Axial slice; Brain; 240x240 px
FLAIR magnetic resonance.
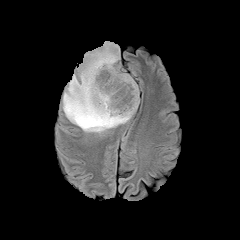
T1-weighted MRI.
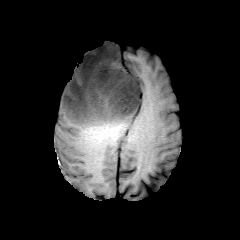
Post-contrast T1-weighted MR image.
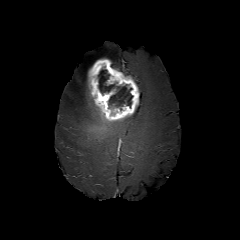
T2-weighted MR.
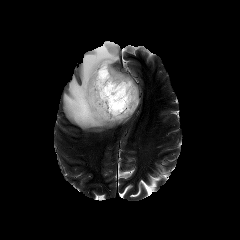
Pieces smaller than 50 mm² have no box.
enhancing tumor — (left=87, top=58, right=139, bottom=122)
necrotic tumor core — (left=98, top=69, right=132, bottom=106)
peritumoral edema — (left=63, top=42, right=131, bottom=132)